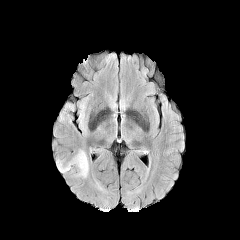
FLAIR magnetic resonance.
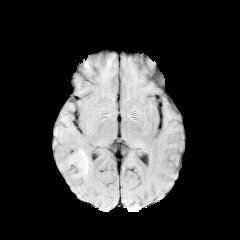
T1-weighted MR image.
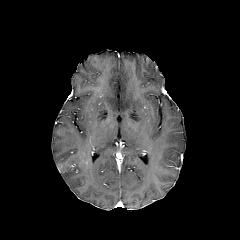
Post-contrast T1-weighted magnetic resonance.
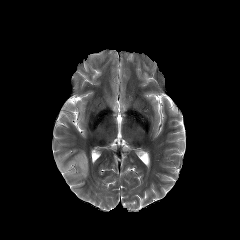
Same slice, T2-weighted magnetic resonance.
peritumoral_edema:
  - 56, 150, 88, 178